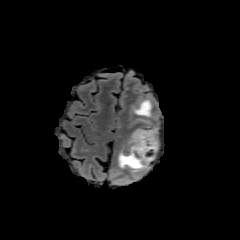
FLAIR MR.
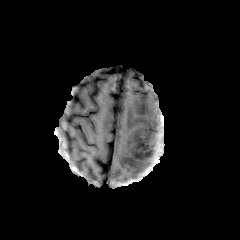
T1-weighted magnetic resonance.
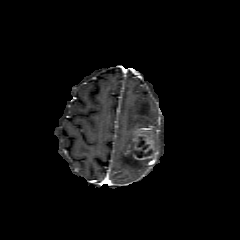
Post-contrast T1-weighted MR of the same slice.
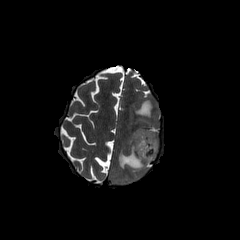
Same slice, T2-weighted MR image.
Head.
<segmentation>
  <peritumoral_edema>(129,99,158,129), (118,150,150,172)</peritumoral_edema>
  <enhancing_tumor>(127,126,160,160)</enhancing_tumor>
  <necrotic_tumor_core>(134,136,152,157)</necrotic_tumor_core>
</segmentation>